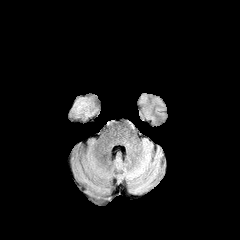
FLAIR MR.
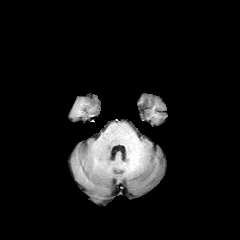
T1-weighted MR image.
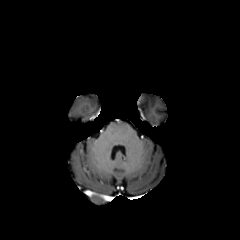
Same slice, post-contrast T1-weighted MR image.
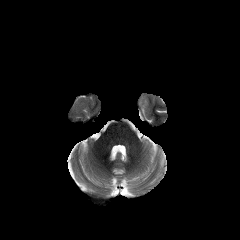
T2-weighted MRI.
Axial slice. Image size 240x240. Head.
peritumoral edema — left=68, top=93, right=100, bottom=121